FLAIR MR.
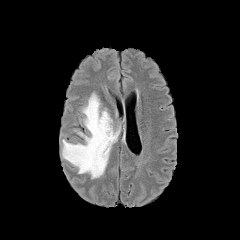
T1-weighted MR.
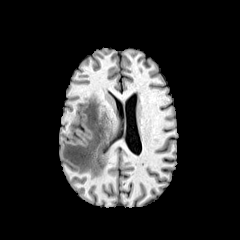
Post-contrast T1-weighted MRI.
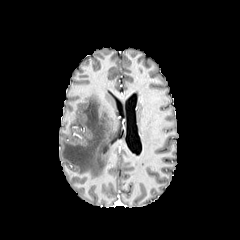
T2-weighted MRI.
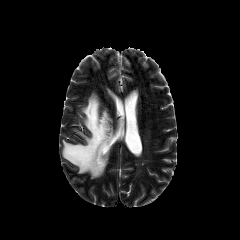
Head | 240x240
- peritumoral edema: (left=62, top=93, right=120, bottom=178)